Slice 125 of 155, 240x240 px, Head
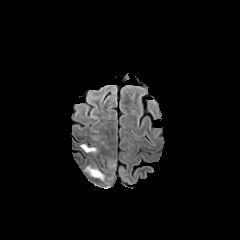
FLAIR magnetic resonance.
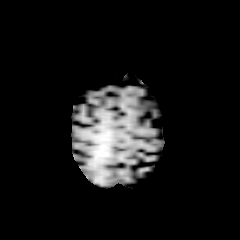
Same slice, T1-weighted MR image.
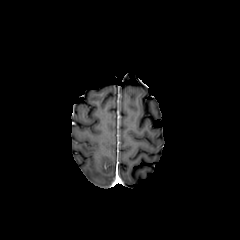
Post-contrast T1-weighted MR image.
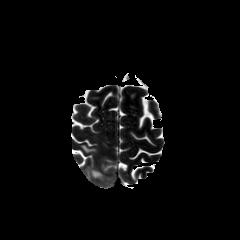
T2-weighted magnetic resonance.
2 peritumoral edema regions are located at 81:145:96:152, 85:166:104:179.